Image covers 240 mm x 240 mm; Axial plane
FLAIR magnetic resonance.
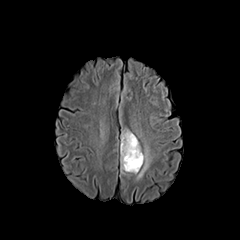
T1-weighted magnetic resonance.
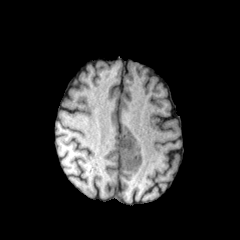
Post-contrast T1-weighted magnetic resonance.
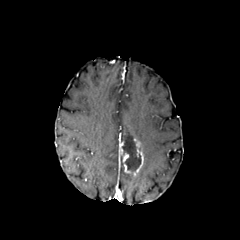
T2-weighted MRI.
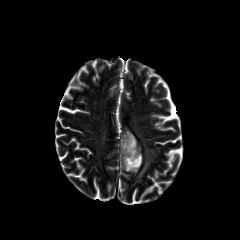
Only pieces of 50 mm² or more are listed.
enhancing_tumor:
  - bbox=[119, 138, 143, 176]
peritumoral_edema:
  - bbox=[121, 129, 133, 140]
  - bbox=[136, 145, 151, 179]
necrotic_tumor_core:
  - bbox=[122, 132, 141, 171]